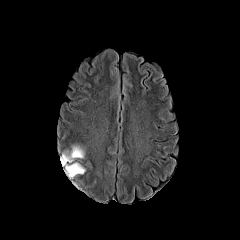
FLAIR MR.
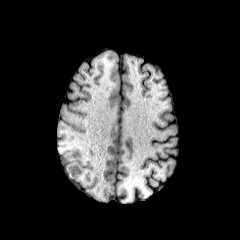
T1-weighted MR.
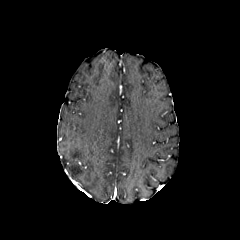
Post-contrast T1-weighted magnetic resonance.
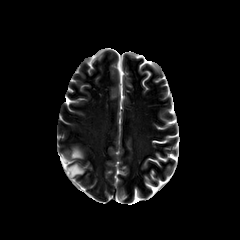
T2-weighted MRI.
Brain | Axial view
Annotated regions:
* peritumoral edema: box(61, 146, 85, 177)